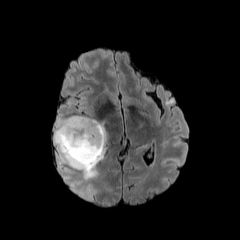
FLAIR MRI.
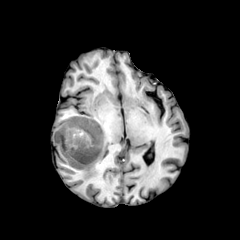
T1-weighted magnetic resonance.
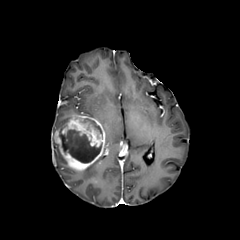
Same slice, post-contrast T1-weighted MR.
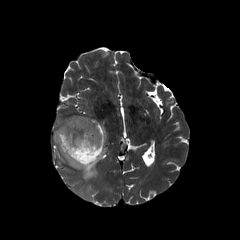
T2-weighted MR image.
Axial slice. Image size 240x240. Brain.
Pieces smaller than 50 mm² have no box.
2 necrotic tumor core regions are located at (84, 119, 101, 133), (59, 129, 101, 163). The enhancing tumor is at (54, 115, 106, 170). The 3 largest peritumoral edema regions are bounded by (83, 156, 102, 179), (53, 133, 66, 163), (55, 116, 71, 130).